FLAIR MRI.
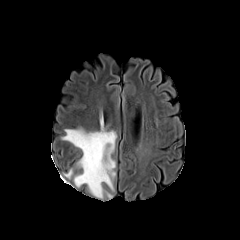
T1-weighted MR image.
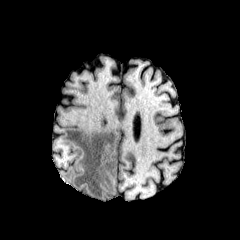
Post-contrast T1-weighted magnetic resonance.
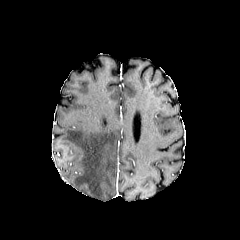
T2-weighted MRI.
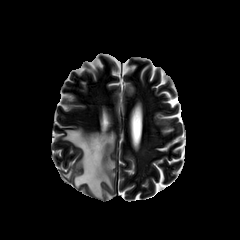
2 peritumoral edema regions are located at box=[62, 128, 116, 198]; box=[64, 169, 72, 178].